Slice index 55, Axial plane, 240x240
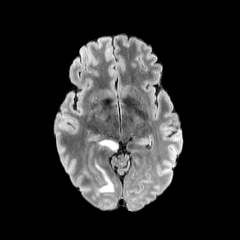
FLAIR MR image.
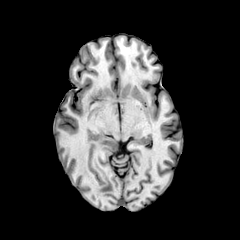
T1-weighted MR.
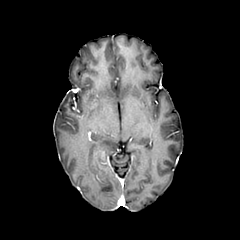
Post-contrast T1-weighted MR.
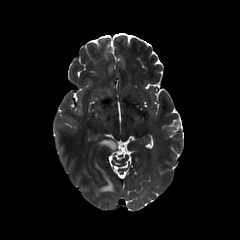
T2-weighted magnetic resonance of the same slice.
<segmentation>
  <peritumoral_edema>(96, 164, 113, 193), (100, 140, 117, 150)</peritumoral_edema>
</segmentation>